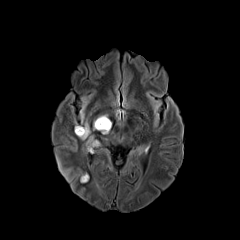
FLAIR magnetic resonance.
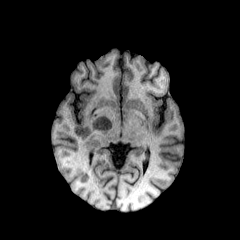
T1-weighted MR image.
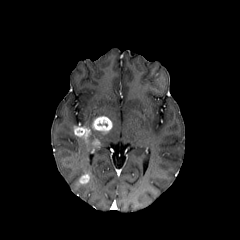
Post-contrast T1-weighted MR.
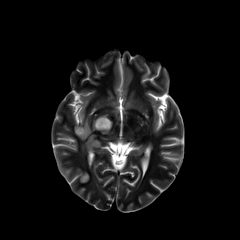
T2-weighted magnetic resonance.
240x240
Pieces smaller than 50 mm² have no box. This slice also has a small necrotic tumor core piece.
The 2 largest peritumoral edema regions appear at box(85, 134, 94, 151); box(80, 112, 89, 128). 4 enhancing tumor regions are bounded by box(74, 126, 90, 143); box(80, 174, 89, 183); box(92, 116, 112, 134); box(90, 139, 100, 152).